Slice 66/155
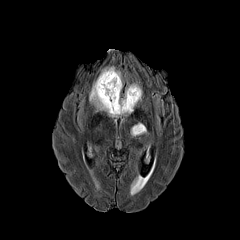
FLAIR MRI.
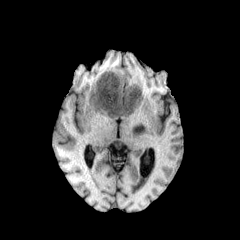
T1-weighted MR of the same slice.
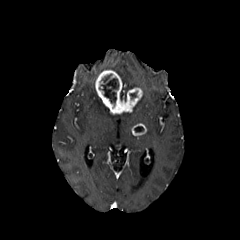
Post-contrast T1-weighted MR.
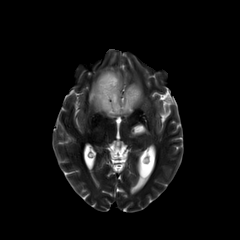
T2-weighted magnetic resonance.
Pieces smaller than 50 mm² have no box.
The 3 largest peritumoral edema regions are located at {"x1": 123, "y1": 82, "x2": 140, "y2": 100}, {"x1": 101, "y1": 66, "x2": 122, "y2": 82}, {"x1": 89, "y1": 81, "x2": 129, "y2": 117}. The 2 largest necrotic tumor core regions appear at {"x1": 134, "y1": 126, "x2": 143, "y2": 132}, {"x1": 101, "y1": 78, "x2": 118, "y2": 102}. The 2 largest enhancing tumor regions are bounded by {"x1": 131, "y1": 123, "x2": 146, "y2": 136}, {"x1": 95, "y1": 70, "x2": 142, "y2": 114}.